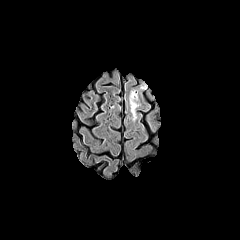
FLAIR MR.
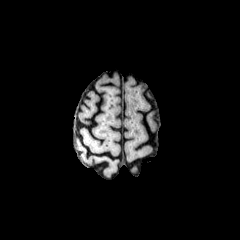
Same slice, T1-weighted magnetic resonance.
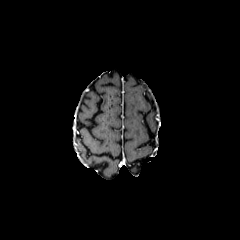
Post-contrast T1-weighted MR of the same slice.
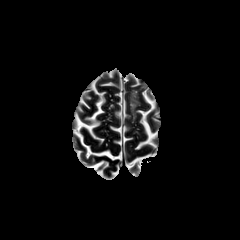
T2-weighted MR image of the same slice.
{
  "peritumoral_edema": [
    "[130, 90, 139, 120]"
  ]
}